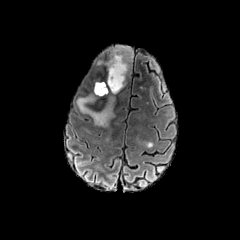
FLAIR MR image.
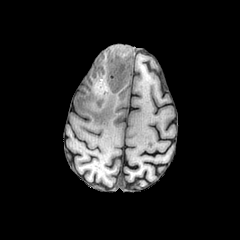
Same slice, T1-weighted magnetic resonance.
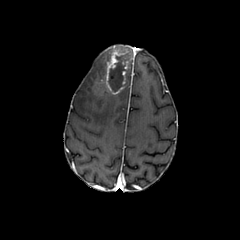
Post-contrast T1-weighted MR.
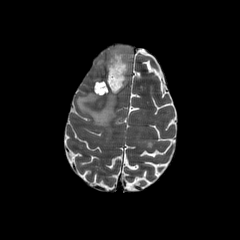
Same slice, T2-weighted MR image.
Head
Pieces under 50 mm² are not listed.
enhancing_tumor:
  - box=[104, 46, 132, 94]
necrotic_tumor_core:
  - box=[108, 54, 128, 91]
peritumoral_edema:
  - box=[76, 81, 115, 127]